Axial view; Head
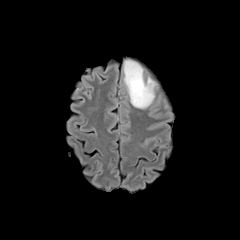
FLAIR magnetic resonance.
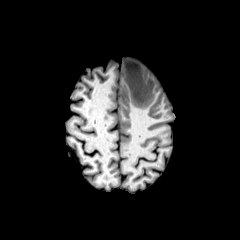
T1-weighted MR image of the same slice.
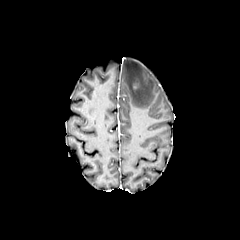
Same slice, post-contrast T1-weighted magnetic resonance.
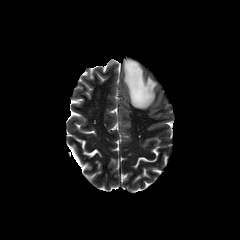
T2-weighted MRI.
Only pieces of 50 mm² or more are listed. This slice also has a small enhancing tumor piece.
peritumoral_edema:
  - [124, 60, 155, 108]